Axial plane
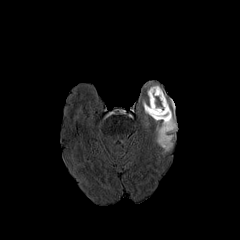
FLAIR magnetic resonance.
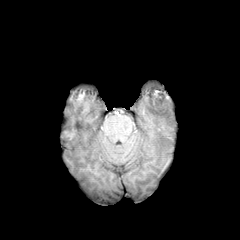
Same slice, T1-weighted magnetic resonance.
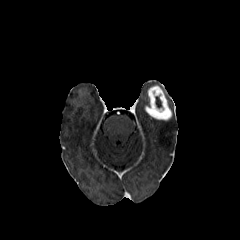
Post-contrast T1-weighted MR.
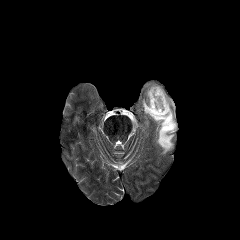
T2-weighted MRI.
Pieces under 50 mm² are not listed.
enhancing_tumor:
  - region(145, 85, 172, 120)
peritumoral_edema:
  - region(154, 115, 177, 153)
necrotic_tumor_core:
  - region(155, 96, 161, 107)